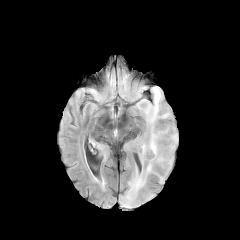
FLAIR MR image.
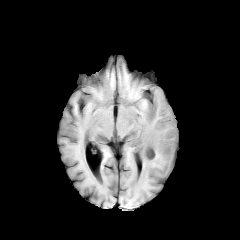
T1-weighted MRI.
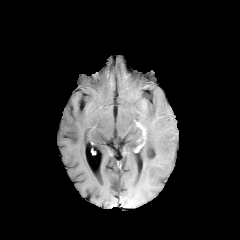
Same slice, post-contrast T1-weighted MRI.
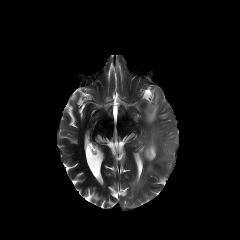
T2-weighted magnetic resonance.
Axial slice; 240x240 px
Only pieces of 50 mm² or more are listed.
peritumoral edema: l=135, t=176, r=145, b=189; l=145, t=106, r=157, b=123; l=141, t=127, r=157, b=162